Head. Slice 70 of 155. Axial view.
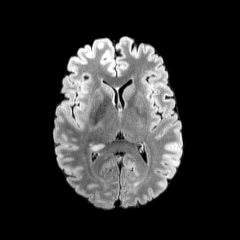
FLAIR MR.
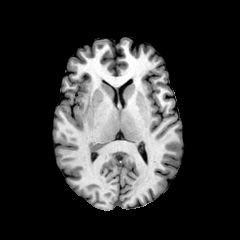
Same slice, T1-weighted MR.
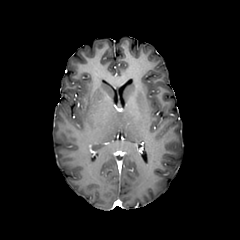
Same slice, post-contrast T1-weighted MR.
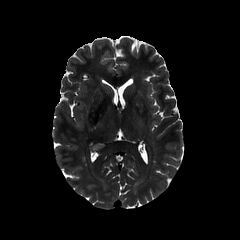
Same slice, T2-weighted magnetic resonance.
<segmentation>
  <peritumoral_edema>[89, 143, 104, 150]</peritumoral_edema>
</segmentation>